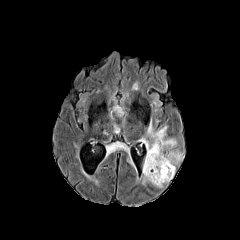
FLAIR MRI.
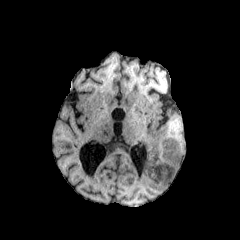
T1-weighted MR image.
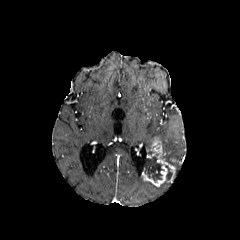
Same slice, post-contrast T1-weighted MR.
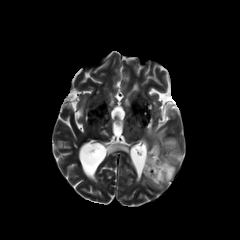
T2-weighted MRI of the same slice.
Head
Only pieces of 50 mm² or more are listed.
necrotic_tumor_core:
  - box(144, 154, 163, 181)
  - box(165, 165, 172, 180)
enhancing_tumor:
  - box(142, 138, 175, 186)
peritumoral_edema:
  - box(140, 120, 182, 167)